FLAIR MRI.
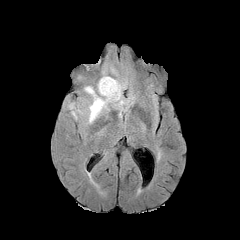
T1-weighted MR.
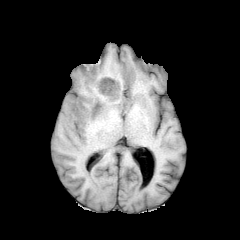
Post-contrast T1-weighted MR image.
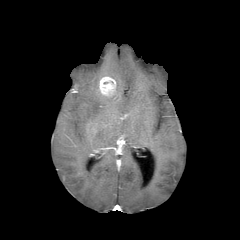
T2-weighted MRI.
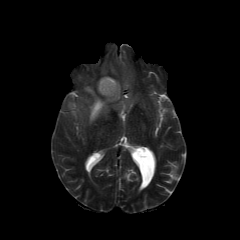
240x240, Axial slice
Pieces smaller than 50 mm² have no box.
peritumoral edema: [85,81,121,122] | enhancing tumor: [99,76,116,96]